FLAIR magnetic resonance.
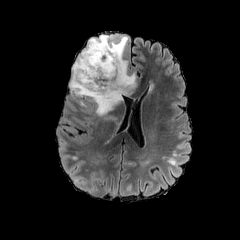
T1-weighted MRI.
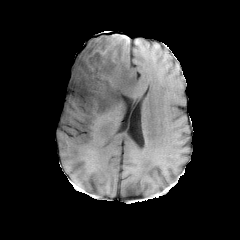
Post-contrast T1-weighted MRI.
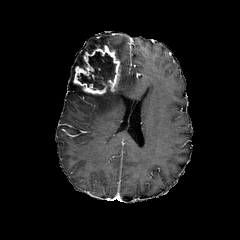
T2-weighted MR.
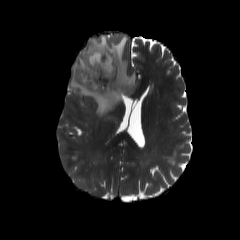
Image size 240x240, Axial plane
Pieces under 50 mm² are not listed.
enhancing tumor = <bbox>73, 45, 120, 94</bbox>
peritumoral edema = <bbox>69, 35, 135, 116</bbox>
necrotic tumor core = <bbox>77, 52, 116, 89</bbox>